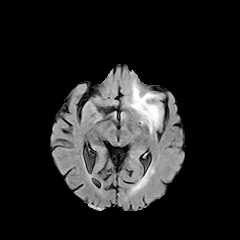
FLAIR MR image.
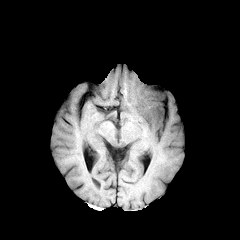
Same slice, T1-weighted magnetic resonance.
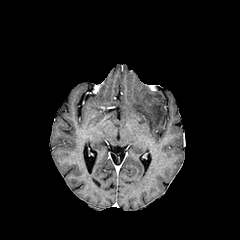
Post-contrast T1-weighted MR image.
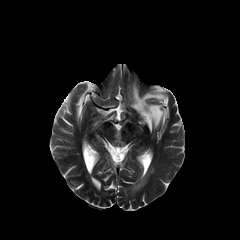
T2-weighted magnetic resonance of the same slice.
Head | Axial plane
peritumoral edema at <box>131,84,163,132</box>